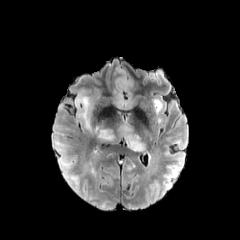
FLAIR magnetic resonance.
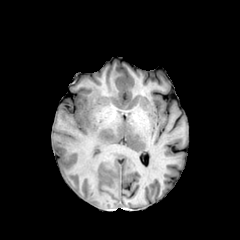
T1-weighted magnetic resonance.
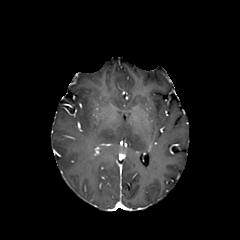
Post-contrast T1-weighted magnetic resonance.
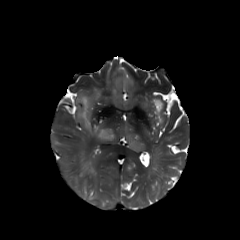
T2-weighted magnetic resonance.
Axial plane; 240x240
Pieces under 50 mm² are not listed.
Annotated regions:
• peritumoral edema: {"x1": 76, "y1": 95, "x2": 114, "y2": 140}, {"x1": 121, "y1": 124, "x2": 144, "y2": 151}, {"x1": 154, "y1": 99, "x2": 162, "y2": 113}